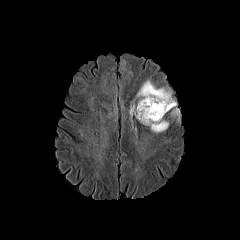
FLAIR MR.
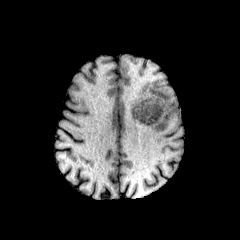
Same slice, T1-weighted magnetic resonance.
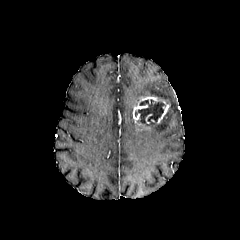
Post-contrast T1-weighted MR of the same slice.
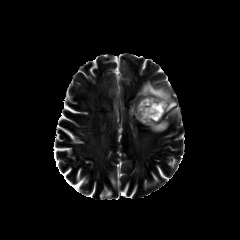
T2-weighted magnetic resonance.
Head
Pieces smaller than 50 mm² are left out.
enhancing_tumor:
  - (133, 95, 170, 123)
peritumoral_edema:
  - (145, 118, 168, 133)
  - (129, 101, 136, 118)
  - (134, 80, 180, 121)
necrotic_tumor_core:
  - (138, 100, 165, 124)